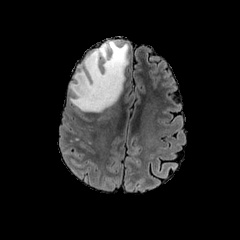
FLAIR MRI.
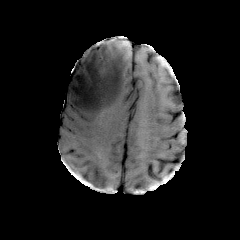
T1-weighted MR of the same slice.
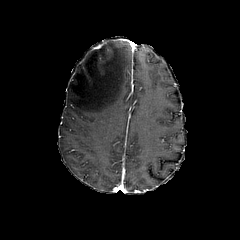
Post-contrast T1-weighted magnetic resonance.
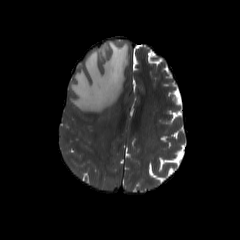
T2-weighted magnetic resonance of the same slice.
Axial plane | 240x240
peritumoral_edema:
  - {"x1": 69, "y1": 40, "x2": 128, "y2": 112}